FLAIR MRI.
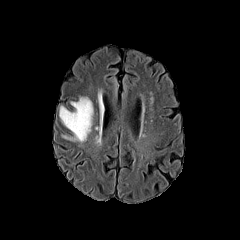
T1-weighted MR image.
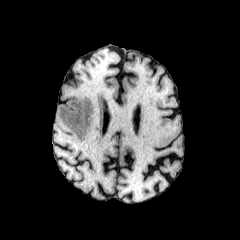
Post-contrast T1-weighted magnetic resonance.
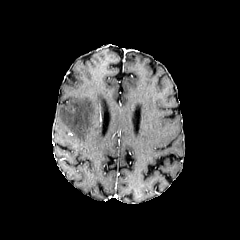
T2-weighted MRI.
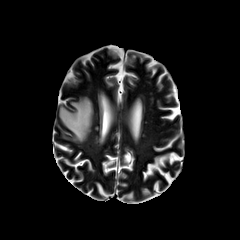
Image size 240x240; Brain; Axial plane
Annotated regions:
* peritumoral edema: 59:97:93:142